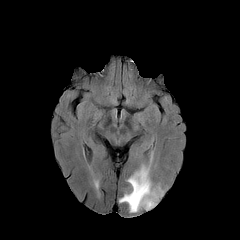
FLAIR MR image.
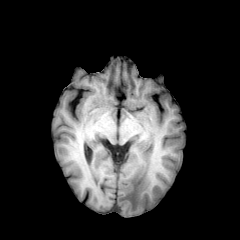
T1-weighted MR image.
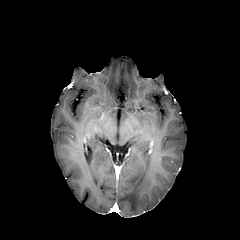
Post-contrast T1-weighted MRI.
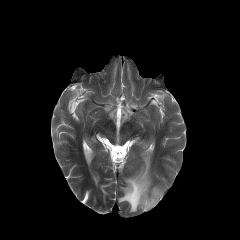
T2-weighted MR.
Axial plane; Head
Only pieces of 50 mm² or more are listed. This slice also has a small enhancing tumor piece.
peritumoral edema at [x1=119, y1=165, x2=163, y2=212]